Axial plane; Slice 53 of 155; Image width 240 mm, 1.00 mm slice spacing
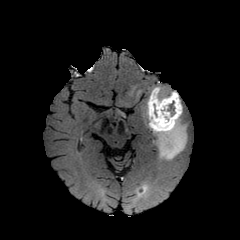
FLAIR magnetic resonance.
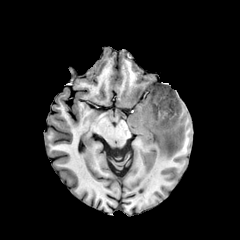
T1-weighted MR image.
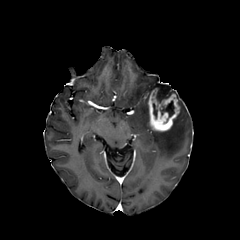
Same slice, post-contrast T1-weighted MR image.
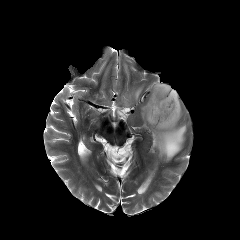
Same slice, T2-weighted MR.
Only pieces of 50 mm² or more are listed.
The largest necrotic tumor core region is bounded by x1=160, y1=101, x2=174, y2=117. The enhancing tumor is at x1=148, y1=88, x2=179, y2=131. The 3 largest peritumoral edema regions are bounded by x1=152, y1=85, x2=169, y2=102; x1=145, y1=101, x2=151, y2=129; x1=152, y1=91, x2=186, y2=160.